Image width 240 mm, Brain, Slice 61/155
FLAIR MR.
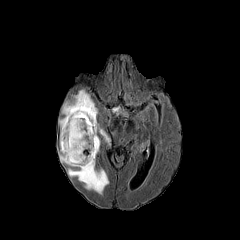
T1-weighted magnetic resonance.
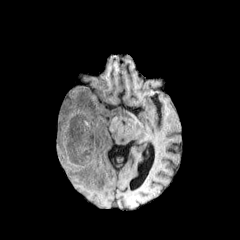
Post-contrast T1-weighted MRI.
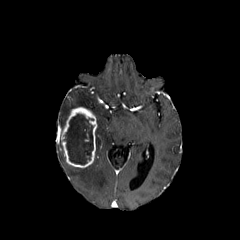
T2-weighted MR.
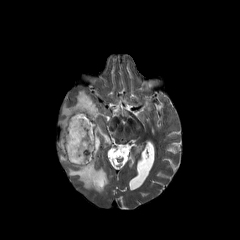
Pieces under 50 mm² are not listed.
peritumoral edema — (60, 141, 66, 163), (59, 90, 98, 130), (68, 123, 110, 193)
enhancing tumor — (61, 107, 97, 167)
necrotic tumor core — (63, 114, 93, 164)